FLAIR MRI.
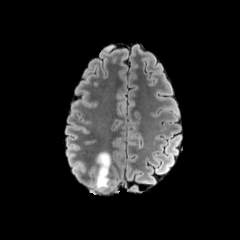
T1-weighted MR.
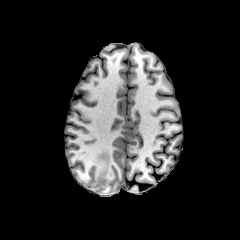
Post-contrast T1-weighted MR.
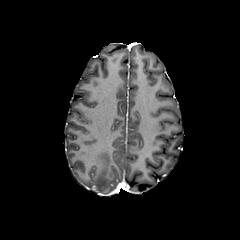
T2-weighted magnetic resonance.
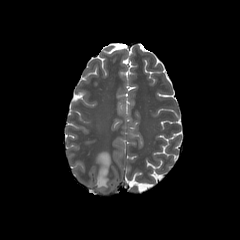
Brain. Axial view.
<segmentation>
  <peritumoral_edema><bbox>90, 151, 111, 191</bbox></peritumoral_edema>
</segmentation>